Head. Axial view.
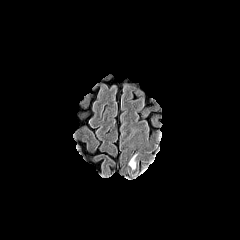
FLAIR MR image.
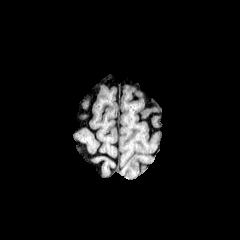
T1-weighted MR image.
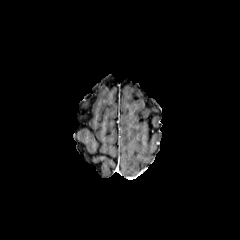
Post-contrast T1-weighted MRI.
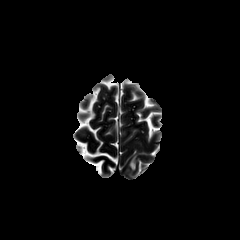
Same slice, T2-weighted MRI.
The peritumoral edema appears at (left=129, top=155, right=135, bottom=169).